Image size 240x240. Axial slice.
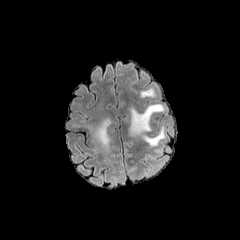
FLAIR MR.
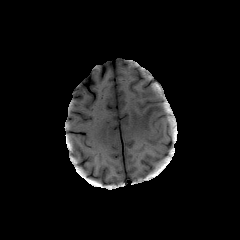
T1-weighted MR.
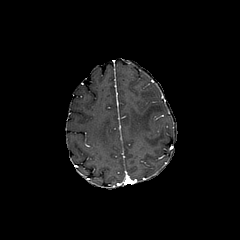
Post-contrast T1-weighted MR.
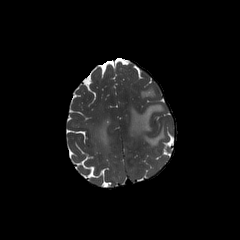
T2-weighted magnetic resonance of the same slice.
3 peritumoral edema regions are bounded by [140,88,155,97], [129,104,165,146], [90,119,110,149].